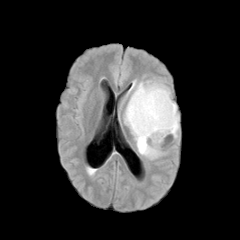
FLAIR MRI.
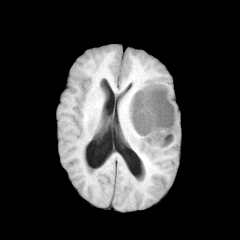
T1-weighted MR image of the same slice.
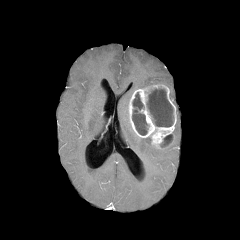
Post-contrast T1-weighted MR image.
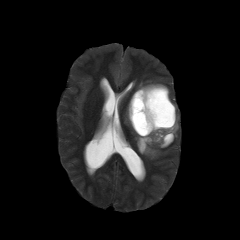
T2-weighted magnetic resonance of the same slice.
Head
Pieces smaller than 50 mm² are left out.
Findings:
- enhancing tumor: 128, 84, 176, 147
- peritumoral edema: 124, 102, 160, 158; 172, 112, 179, 137; 130, 80, 162, 91
- necrotic tumor core: 161, 135, 173, 145; 132, 93, 147, 135; 146, 88, 173, 126